FLAIR MRI.
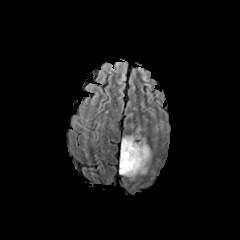
T1-weighted MRI.
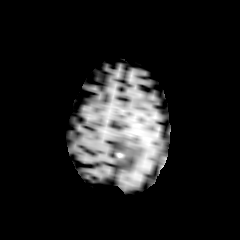
Post-contrast T1-weighted MRI.
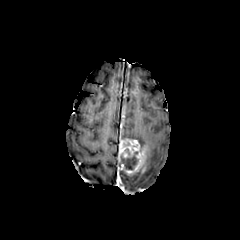
T2-weighted MR image.
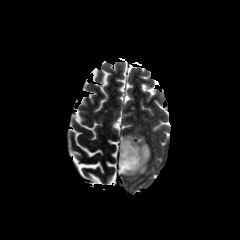
Brain, Axial plane
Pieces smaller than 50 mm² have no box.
The largest enhancing tumor region is bounded by (x1=118, y1=139, x2=150, y2=175). The largest peritumoral edema region is located at (x1=137, y1=154, x2=150, y2=173). The largest necrotic tumor core region is located at (x1=121, y1=151, x2=137, y2=169).